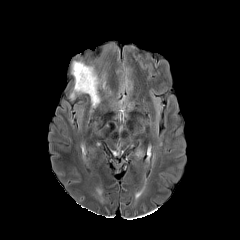
FLAIR magnetic resonance.
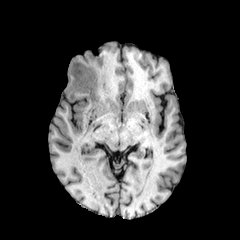
T1-weighted MR image of the same slice.
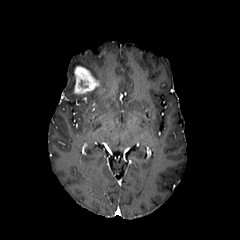
Post-contrast T1-weighted MR image.
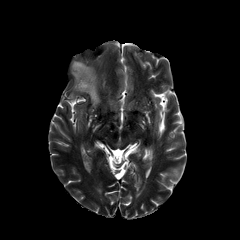
Same slice, T2-weighted MR image.
240x240 px | Head
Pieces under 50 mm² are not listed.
The largest enhancing tumor region is bounded by box=[74, 66, 99, 94]. The 2 largest peritumoral edema regions are located at box=[72, 61, 98, 79]; box=[87, 87, 100, 107].